Brain. Image width 240 mm. Axial slice.
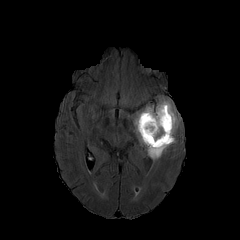
FLAIR magnetic resonance.
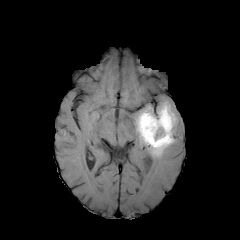
Same slice, T1-weighted MRI.
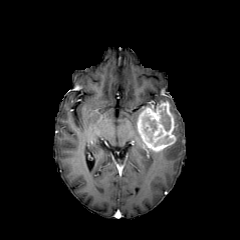
Same slice, post-contrast T1-weighted MRI.
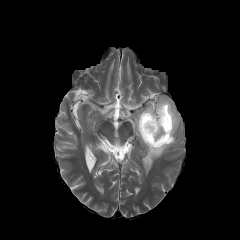
T2-weighted magnetic resonance of the same slice.
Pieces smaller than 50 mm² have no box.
Findings:
* enhancing tumor: (137,101,175,151)
* peritumoral edema: (146,146,169,160), (133,108,144,145), (157,96,181,136)
* necrotic tumor core: (154,135,170,146), (143,116,156,132), (161,107,170,131)